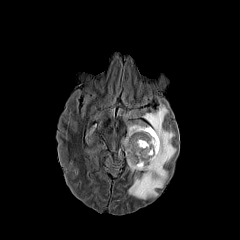
FLAIR MRI.
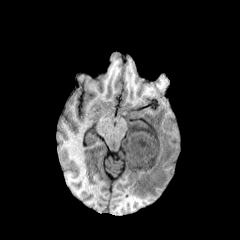
Same slice, T1-weighted magnetic resonance.
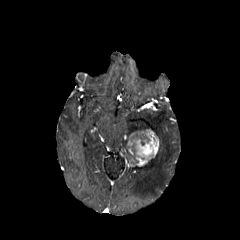
Post-contrast T1-weighted MR of the same slice.
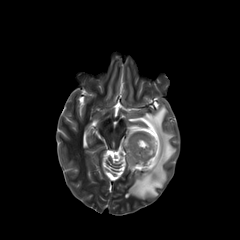
T2-weighted magnetic resonance.
240x240, Head
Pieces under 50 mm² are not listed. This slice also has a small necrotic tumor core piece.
enhancing_tumor:
  - bbox=[127, 129, 159, 166]
peritumoral_edema:
  - bbox=[122, 104, 176, 199]